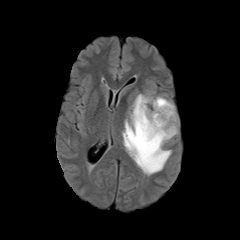
FLAIR MR.
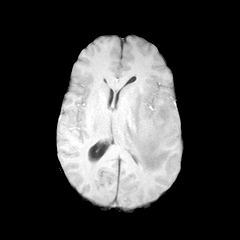
T1-weighted MR of the same slice.
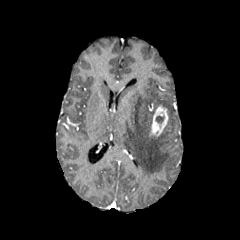
Same slice, post-contrast T1-weighted MR image.
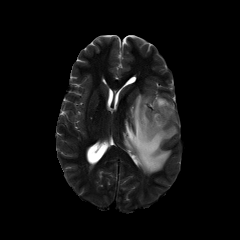
T2-weighted MRI.
Brain.
The necrotic tumor core lies within box=[156, 116, 163, 123]. The peritumoral edema lies within box=[122, 91, 178, 175]. The enhancing tumor is located at box=[150, 106, 168, 136].